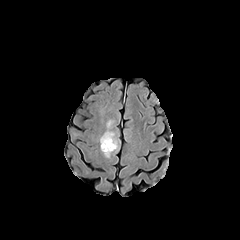
FLAIR MR.
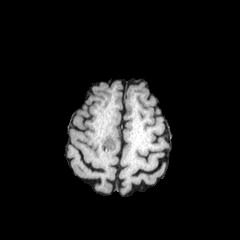
T1-weighted MR.
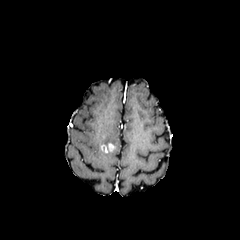
Post-contrast T1-weighted MR image of the same slice.
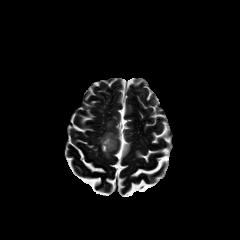
T2-weighted MR image.
Brain | 240x240 px | Axial view
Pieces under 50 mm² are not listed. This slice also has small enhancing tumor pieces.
peritumoral edema at 100 130 119 157